Axial view | Head | Slice 87/155 | Image covers 240 mm x 240 mm
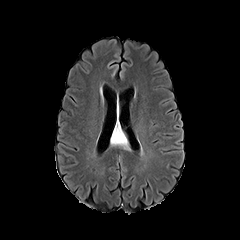
FLAIR MRI.
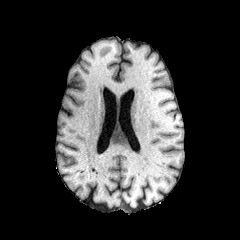
T1-weighted MR.
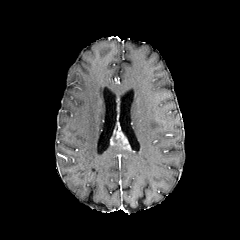
Post-contrast T1-weighted MR image of the same slice.
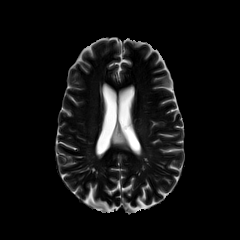
T2-weighted magnetic resonance of the same slice.
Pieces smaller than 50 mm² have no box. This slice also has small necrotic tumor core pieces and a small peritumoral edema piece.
enhancing_tumor:
  - {"x1": 110, "y1": 127, "x2": 129, "y2": 148}